Image covers 240 mm x 240 mm | Image size 240x240 | Brain | Axial plane
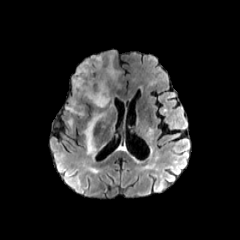
FLAIR magnetic resonance.
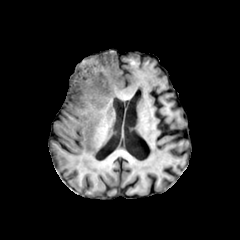
T1-weighted MR image.
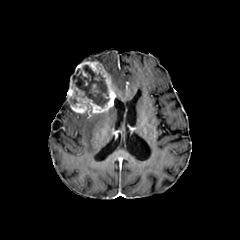
Same slice, post-contrast T1-weighted magnetic resonance.
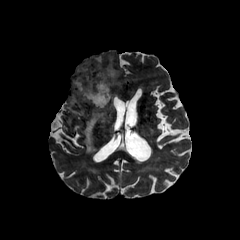
T2-weighted magnetic resonance.
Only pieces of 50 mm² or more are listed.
{"necrotic_tumor_core": ["x1=72 y1=65 x2=109 y2=107"], "peritumoral_edema": ["x1=83 y1=113 x2=104 y2=155", "x1=105 y1=60 x2=116 y2=80"], "enhancing_tumor": ["x1=67 y1=61 x2=115 y2=115"]}